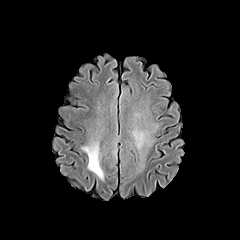
FLAIR magnetic resonance.
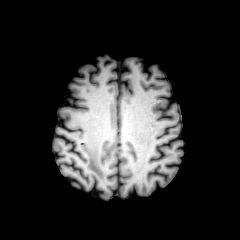
T1-weighted MR of the same slice.
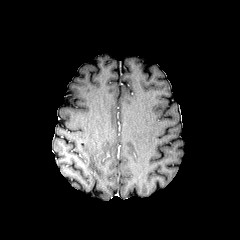
Post-contrast T1-weighted MR.
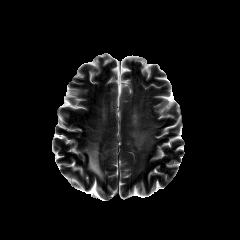
T2-weighted MRI.
Axial plane. 240x240.
The peritumoral edema appears at <box>82,141,104,180</box>.